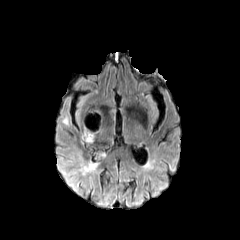
FLAIR MRI.
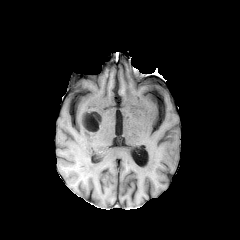
T1-weighted MR image of the same slice.
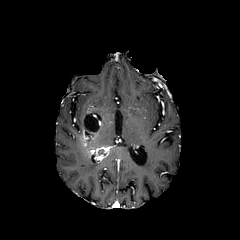
Post-contrast T1-weighted MRI.
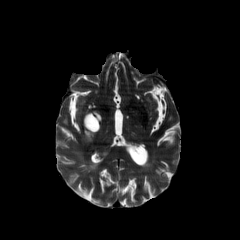
T2-weighted MR.
Head
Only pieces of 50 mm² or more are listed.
<segmentation>
  <necrotic_tumor_core>84 115 98 133</necrotic_tumor_core>
  <enhancing_tumor>78 111 105 156</enhancing_tumor>
  <peritumoral_edema>77 153 98 175</peritumoral_edema>
</segmentation>